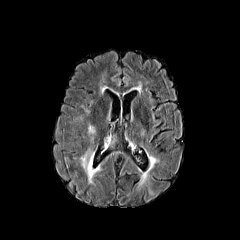
FLAIR MR image.
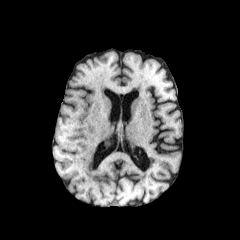
Same slice, T1-weighted magnetic resonance.
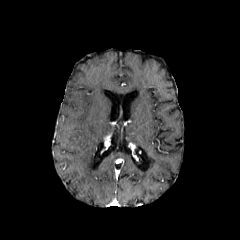
Post-contrast T1-weighted MR.
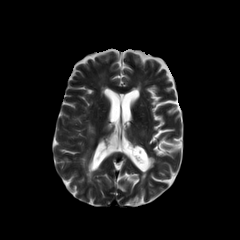
T2-weighted MR image.
Brain
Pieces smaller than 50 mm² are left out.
The largest peritumoral edema region is located at (81, 148, 93, 181).